Brain. Image width 240 mm.
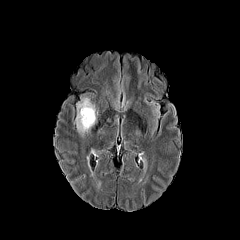
FLAIR MRI.
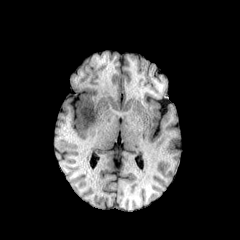
T1-weighted MR image of the same slice.
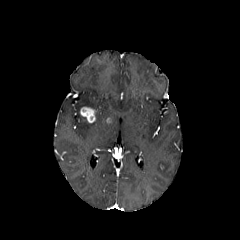
Same slice, post-contrast T1-weighted MRI.
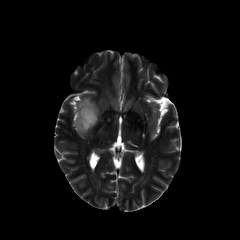
T2-weighted MR image.
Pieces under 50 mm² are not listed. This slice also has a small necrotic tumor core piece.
enhancing tumor — 80 107 95 123
peritumoral edema — 75 97 95 134